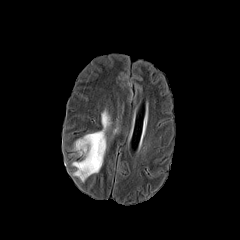
FLAIR MR image.
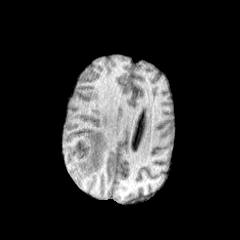
T1-weighted MRI.
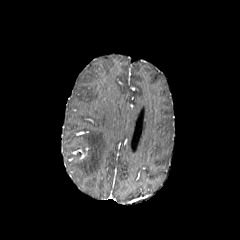
Post-contrast T1-weighted MR.
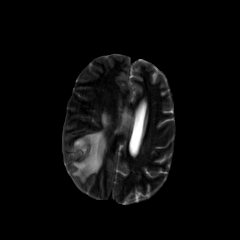
Same slice, T2-weighted MRI.
Brain. Axial plane.
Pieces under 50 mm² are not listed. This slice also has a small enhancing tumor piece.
The largest peritumoral edema region lies within [72,109,109,181].